Axial slice, Image size 240x240, Head, Slice 101/155
FLAIR MRI.
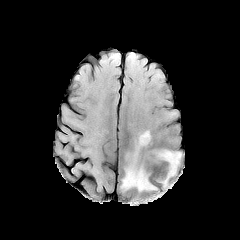
T1-weighted MR.
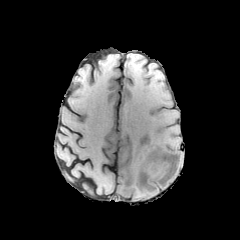
Post-contrast T1-weighted MR image.
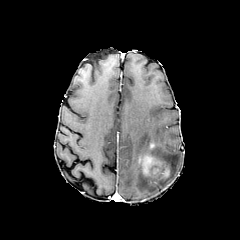
T2-weighted MR.
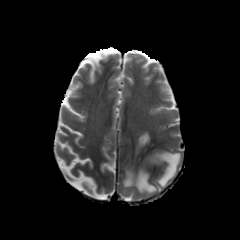
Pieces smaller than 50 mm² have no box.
peritumoral edema: rect(122, 131, 156, 191); rect(154, 150, 181, 186) | enhancing tumor: rect(143, 156, 169, 179)